Image size 240x240, Brain, Slice index 59, Axial plane
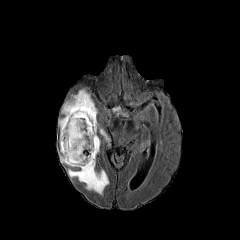
FLAIR MR.
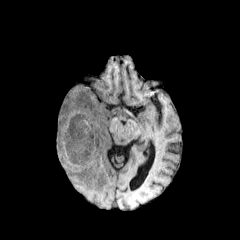
T1-weighted MR.
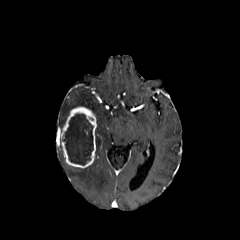
Post-contrast T1-weighted magnetic resonance.
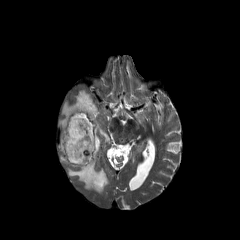
T2-weighted MR image of the same slice.
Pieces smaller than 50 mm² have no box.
enhancing tumor — rect(60, 106, 96, 168)
peritumoral edema — rect(95, 122, 109, 155); rect(60, 144, 67, 164); rect(59, 89, 97, 132); rect(68, 156, 109, 194)
necrotic tumor core — rect(62, 114, 93, 165)